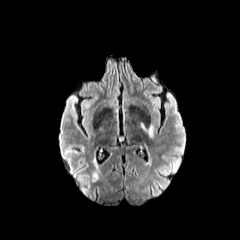
FLAIR MRI.
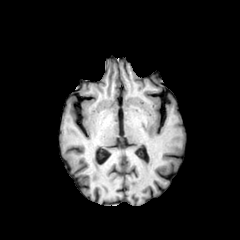
T1-weighted MR of the same slice.
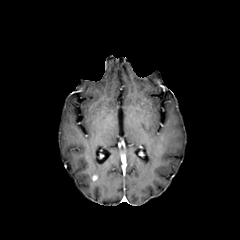
Post-contrast T1-weighted MR image.
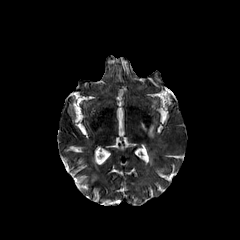
T2-weighted MRI of the same slice.
Axial plane.
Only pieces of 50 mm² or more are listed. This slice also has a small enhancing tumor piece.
<segmentation>
  <peritumoral_edema>box=[141, 123, 153, 137]</peritumoral_edema>
</segmentation>